FLAIR MR image.
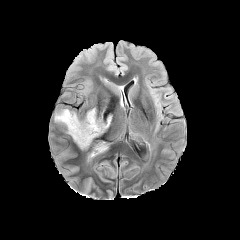
T1-weighted MRI.
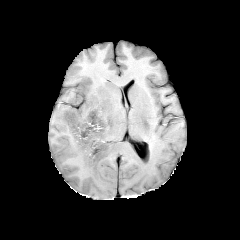
Post-contrast T1-weighted MR.
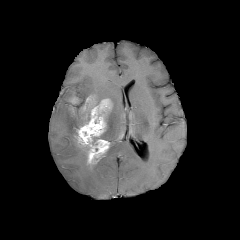
T2-weighted MR.
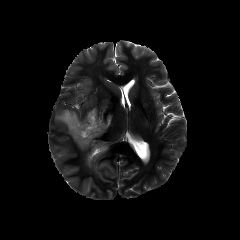
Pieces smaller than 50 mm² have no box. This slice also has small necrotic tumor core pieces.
{
  "enhancing_tumor": [
    "(75, 99, 109, 163)",
    "(84, 98, 92, 109)"
  ],
  "peritumoral_edema": [
    "(106, 115, 111, 129)",
    "(54, 108, 88, 149)"
  ]
}